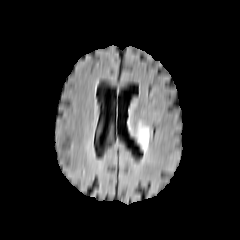
FLAIR MR image.
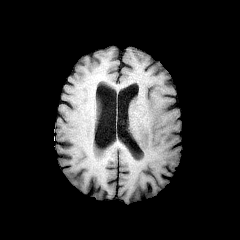
T1-weighted magnetic resonance.
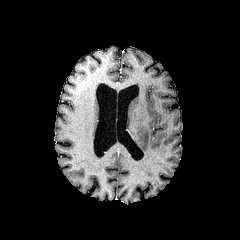
Post-contrast T1-weighted magnetic resonance.
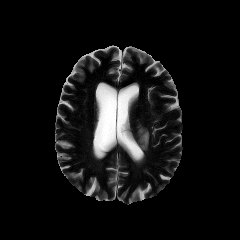
T2-weighted MR image.
240x240 px | Axial view
peritumoral edema: (left=137, top=120, right=149, bottom=151)